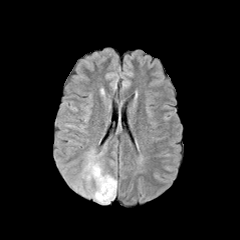
FLAIR magnetic resonance.
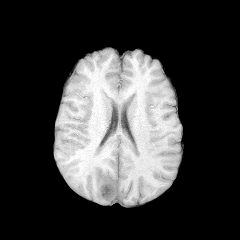
Same slice, T1-weighted MR image.
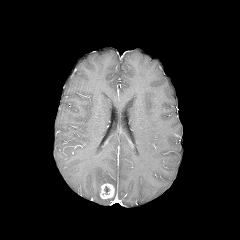
Same slice, post-contrast T1-weighted magnetic resonance.
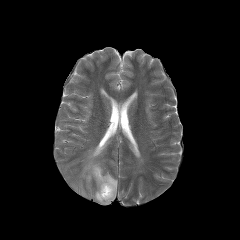
T2-weighted MR of the same slice.
Image size 240x240, Brain
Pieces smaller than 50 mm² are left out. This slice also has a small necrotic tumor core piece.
Findings:
- peritumoral edema: (71, 148, 117, 204)
- enhancing tumor: (100, 183, 114, 199)